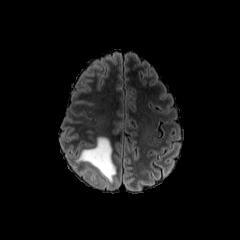
FLAIR MR image.
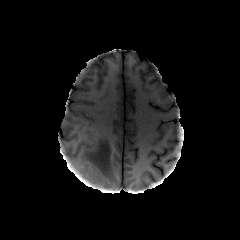
T1-weighted MR.
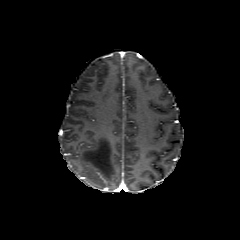
Same slice, post-contrast T1-weighted magnetic resonance.
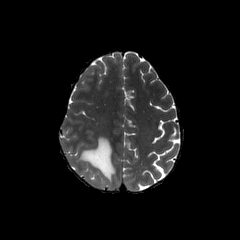
T2-weighted MRI of the same slice.
Image size 240x240
peritumoral edema: <box>76,137,115,182</box>